Axial view; Image width 240 mm, 1.00 mm slice spacing; Slice 92 of 155; Brain
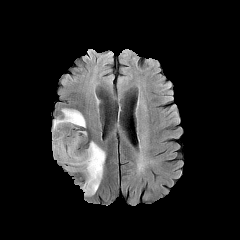
FLAIR magnetic resonance.
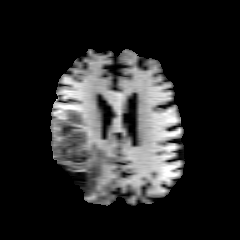
T1-weighted magnetic resonance.
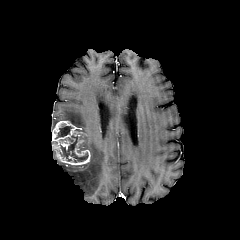
Post-contrast T1-weighted MR image.
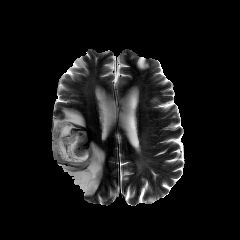
T2-weighted MRI.
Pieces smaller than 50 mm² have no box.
<segmentation>
  <necrotic_tumor_core>{"x1": 56, "y1": 126, "x2": 71, "y2": 138}, {"x1": 61, "y1": 135, "x2": 88, "y2": 162}</necrotic_tumor_core>
  <peritumoral_edema>{"x1": 53, "y1": 108, "x2": 85, "y2": 127}, {"x1": 64, "y1": 141, "x2": 105, "y2": 195}</peritumoral_edema>
  <enhancing_tumor>{"x1": 52, "y1": 120, "x2": 90, "y2": 165}</enhancing_tumor>
</segmentation>